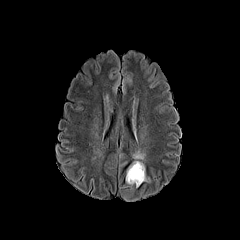
FLAIR MR image.
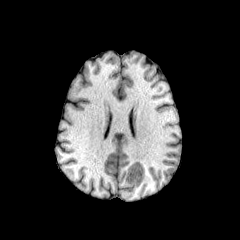
T1-weighted magnetic resonance.
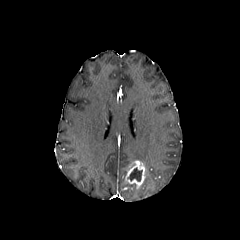
Post-contrast T1-weighted magnetic resonance.
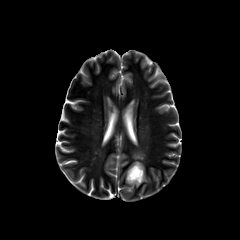
Same slice, T2-weighted magnetic resonance.
Axial plane, 240x240
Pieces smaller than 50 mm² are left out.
necrotic tumor core — [128,168,142,181]
enhancing tumor — [125,160,145,187]
peritumoral edema — [133,151,144,161]